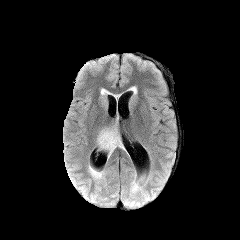
FLAIR magnetic resonance.
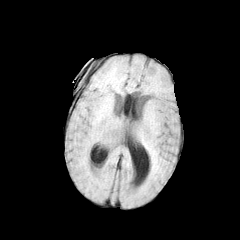
T1-weighted MRI.
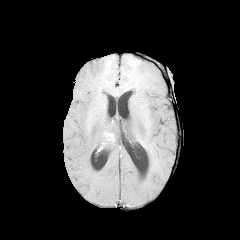
Post-contrast T1-weighted MRI of the same slice.
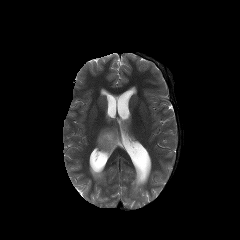
T2-weighted MRI of the same slice.
Brain
Segmented structures:
• peritumoral edema: [97,127,124,158]
• enhancing tumor: [105,133,114,141]